FLAIR MR image.
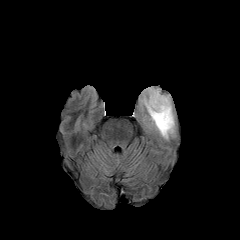
T1-weighted MR image.
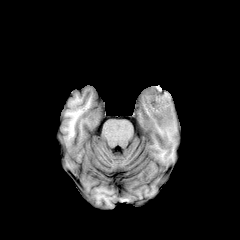
Post-contrast T1-weighted MRI.
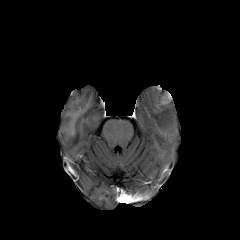
T2-weighted MR image.
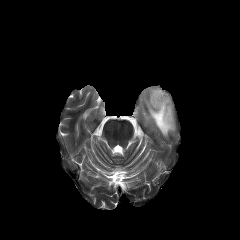
Image size 240x240 | Axial plane
peritumoral edema = 140:86:174:138
enhancing tumor = 161:94:171:104